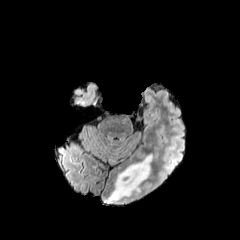
FLAIR MR.
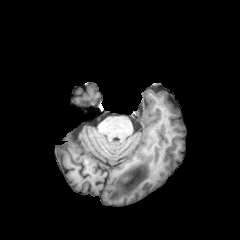
Same slice, T1-weighted MR.
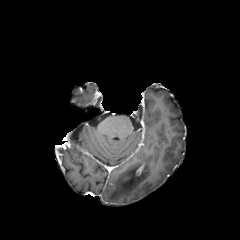
Post-contrast T1-weighted MR image.
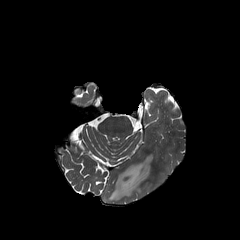
T2-weighted MRI.
Axial view
Annotated regions:
* peritumoral edema: <bbox>102, 153, 153, 204</bbox>
* enhancing tumor: <bbox>136, 162, 145, 176</bbox>